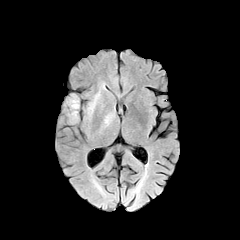
FLAIR MR.
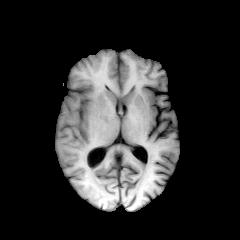
T1-weighted MR image.
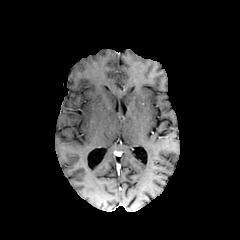
Post-contrast T1-weighted MRI.
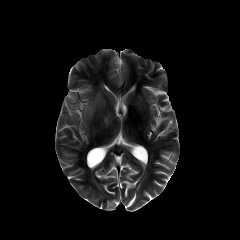
T2-weighted MRI.
Head | Image size 240x240 | Axial slice
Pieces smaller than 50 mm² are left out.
peritumoral edema = (71,98,78,108), (88,93,99,113)